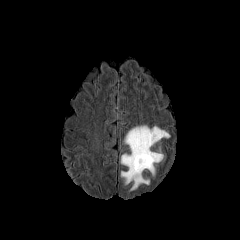
FLAIR MR image.
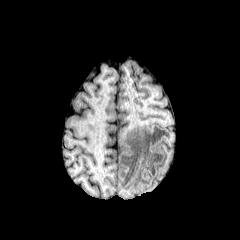
T1-weighted MR of the same slice.
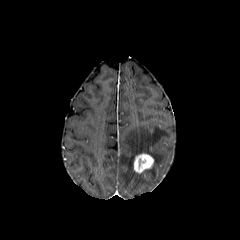
Post-contrast T1-weighted magnetic resonance.
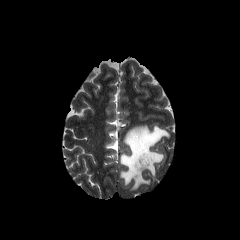
T2-weighted MRI of the same slice.
Axial view
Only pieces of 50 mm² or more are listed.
<segmentation>
  <peritumoral_edema>(left=120, top=125, right=171, bottom=191)</peritumoral_edema>
  <enhancing_tumor>(left=133, top=153, right=154, bottom=173)</enhancing_tumor>
</segmentation>